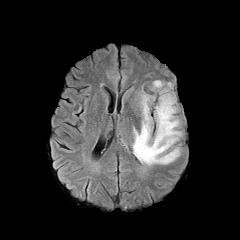
FLAIR MR image.
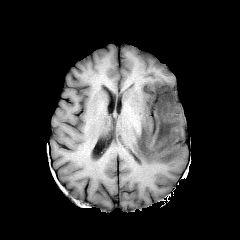
T1-weighted MR.
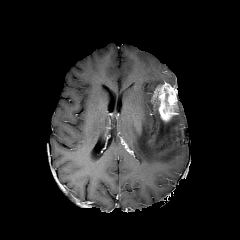
Same slice, post-contrast T1-weighted magnetic resonance.
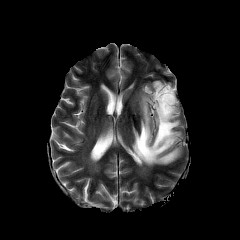
Same slice, T2-weighted magnetic resonance.
Axial slice
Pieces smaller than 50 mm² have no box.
Annotated regions:
• enhancing tumor: (151, 82, 177, 122)
• peritumoral edema: (132, 93, 181, 165), (153, 80, 164, 90)